Slice 82/155, Image covers 240 mm x 240 mm
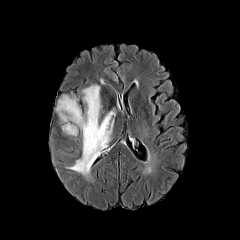
FLAIR MR image.
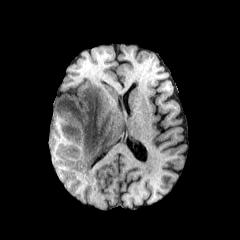
T1-weighted MRI.
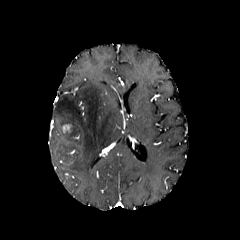
Post-contrast T1-weighted MR image.
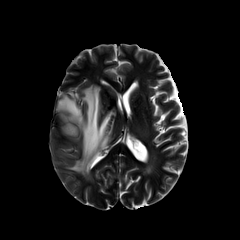
T2-weighted magnetic resonance.
The peritumoral edema is at <box>56,85,115,176</box>. The enhancing tumor is at <box>62,124,70,131</box>.